Axial view.
FLAIR MR.
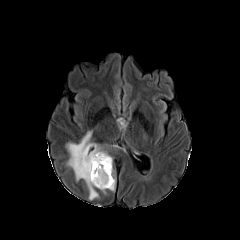
T1-weighted MR image.
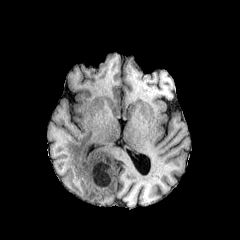
Post-contrast T1-weighted magnetic resonance.
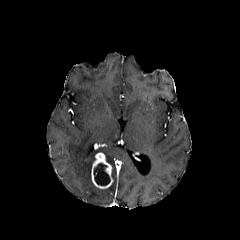
T2-weighted magnetic resonance.
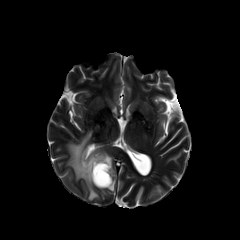
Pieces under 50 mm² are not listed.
necrotic tumor core: (x1=93, y1=163, x2=110, y2=185) | enhancing tumor: (x1=91, y1=152, x2=113, y2=189) | peritumoral edema: (x1=66, y1=131, x2=112, y2=200), (x1=107, y1=178, x2=115, y2=191)